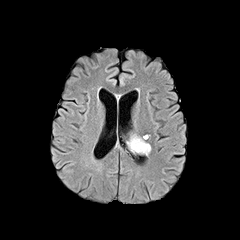
FLAIR MR.
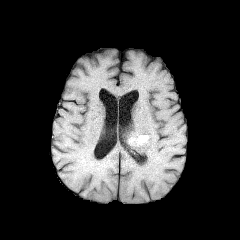
Same slice, T1-weighted MR.
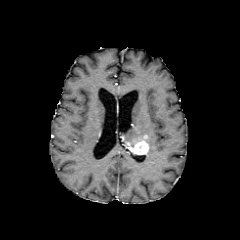
Post-contrast T1-weighted MR image.
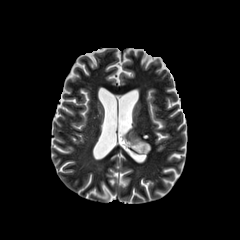
T2-weighted MRI.
Brain. Axial view.
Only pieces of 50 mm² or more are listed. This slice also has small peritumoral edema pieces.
enhancing_tumor:
  - 128, 138, 149, 154